Slice index 61 | Image width 240 mm, 1.00 mm slice spacing | Image size 240x240 | Axial plane
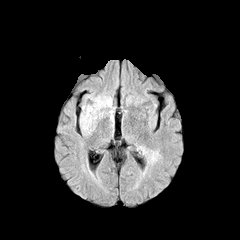
FLAIR magnetic resonance.
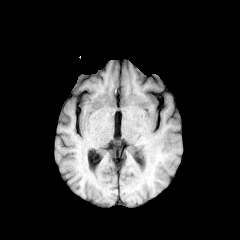
T1-weighted magnetic resonance of the same slice.
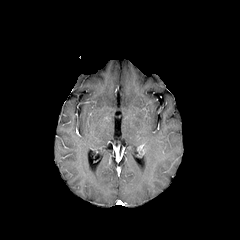
Post-contrast T1-weighted magnetic resonance.
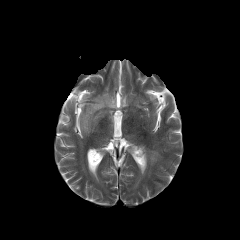
T2-weighted MR image.
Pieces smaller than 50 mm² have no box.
Segmented structures:
• peritumoral edema: <box>81,97,110,133</box>, <box>151,152,157,161</box>